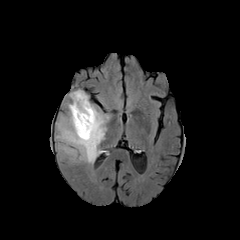
FLAIR MR.
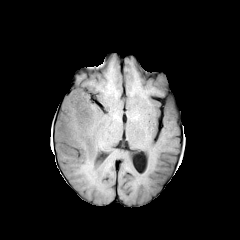
T1-weighted MRI of the same slice.
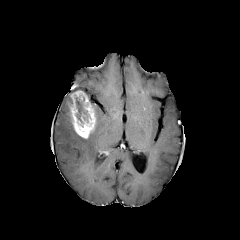
Post-contrast T1-weighted MR image of the same slice.
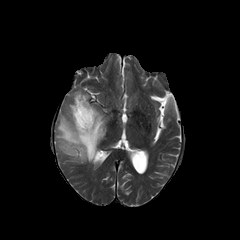
Same slice, T2-weighted MR.
Axial slice.
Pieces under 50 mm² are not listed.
<segmentation>
  <peritumoral_edema>55 103 109 163</peritumoral_edema>
  <necrotic_tumor_core>76 98 82 120</necrotic_tumor_core>
  <enhancing_tumor>68 90 96 138</enhancing_tumor>
</segmentation>